FLAIR MR image.
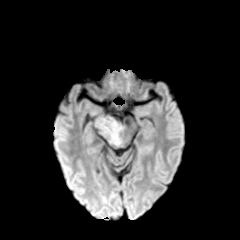
T1-weighted magnetic resonance.
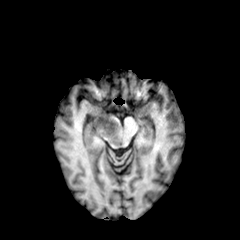
Post-contrast T1-weighted MR image.
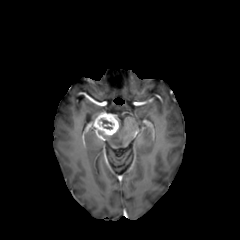
T2-weighted MR image.
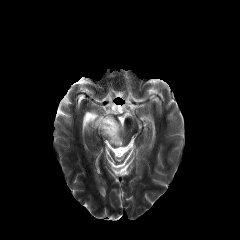
Brain
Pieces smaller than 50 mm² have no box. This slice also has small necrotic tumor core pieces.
enhancing tumor = region(88, 112, 118, 135)
peritumoral edema = region(103, 123, 123, 145)